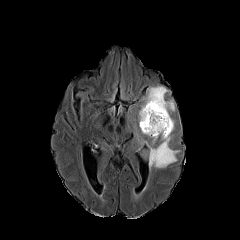
FLAIR MR image.
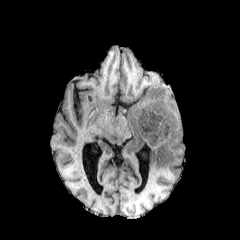
T1-weighted MR.
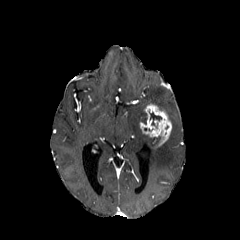
Same slice, post-contrast T1-weighted MRI.
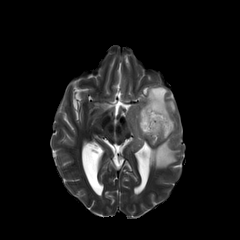
T2-weighted MRI.
Axial plane
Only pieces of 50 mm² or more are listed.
<segmentation>
  <peritumoral_edema>(left=134, top=86, right=179, bottom=169)</peritumoral_edema>
  <enhancing_tumor>(left=140, top=103, right=171, bottom=147)</enhancing_tumor>
  <necrotic_tumor_core>(left=150, top=112, right=161, bottom=125)</necrotic_tumor_core>
</segmentation>